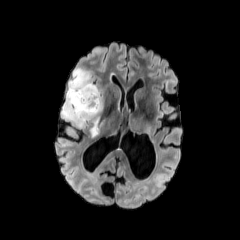
FLAIR MRI.
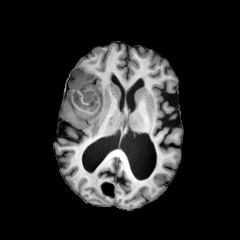
Same slice, T1-weighted magnetic resonance.
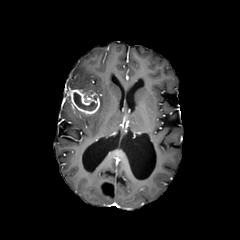
Post-contrast T1-weighted MRI of the same slice.
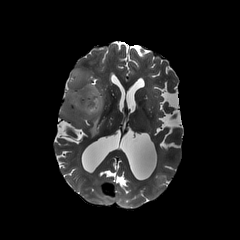
T2-weighted MRI.
Image size 240x240, Axial slice, Brain
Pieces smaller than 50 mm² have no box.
{"necrotic_tumor_core": ["(x1=74, y1=92, x2=97, y2=110)"], "enhancing_tumor": ["(x1=65, y1=87, x2=100, y2=114)"], "peritumoral_edema": ["(x1=90, y1=117, x2=98, y2=136)", "(x1=68, y1=68, x2=100, y2=94)", "(x1=61, y1=96, x2=102, y2=127)"]}